Brain
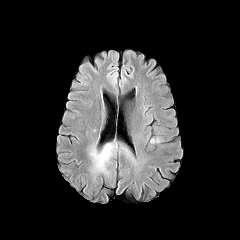
FLAIR MR.
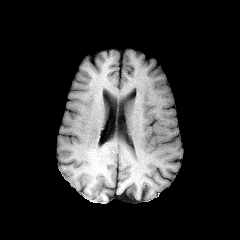
T1-weighted magnetic resonance of the same slice.
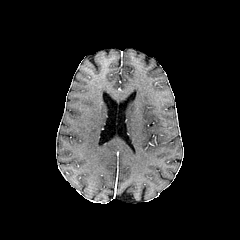
Post-contrast T1-weighted MRI of the same slice.
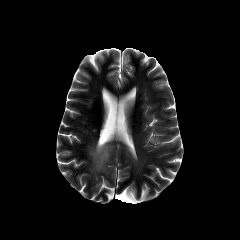
T2-weighted MRI.
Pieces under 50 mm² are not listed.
peritumoral edema: bounding box <box>93,146,111,171</box>